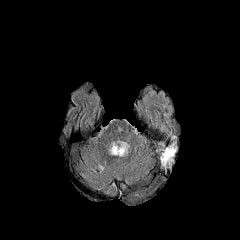
FLAIR MR.
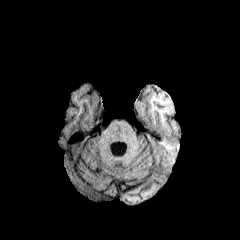
T1-weighted MR image of the same slice.
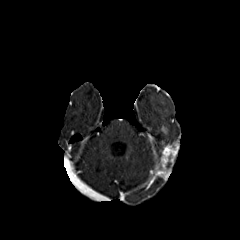
Post-contrast T1-weighted MRI of the same slice.
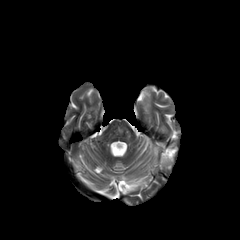
T2-weighted magnetic resonance.
Head. Axial slice.
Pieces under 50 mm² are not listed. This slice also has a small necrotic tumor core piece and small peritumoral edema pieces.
enhancing_tumor:
  - 160, 139, 178, 173